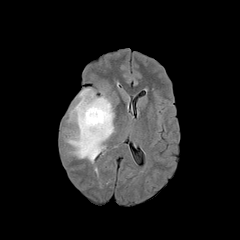
FLAIR MR.
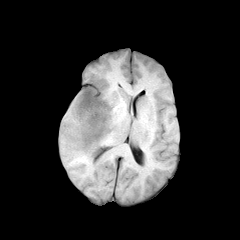
T1-weighted MR image.
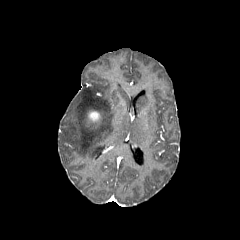
Same slice, post-contrast T1-weighted MR image.
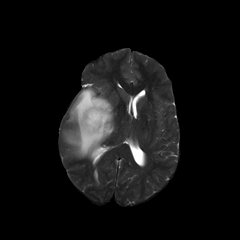
T2-weighted MRI.
Brain, 240x240 px
peritumoral edema = (65,88,114,160)
enhancing tumor = (87,110,101,123)